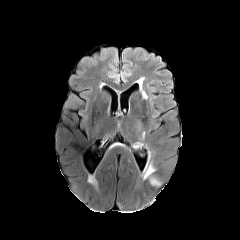
FLAIR magnetic resonance.
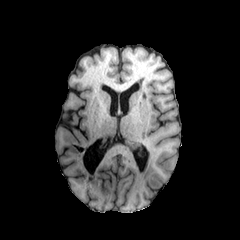
T1-weighted MR.
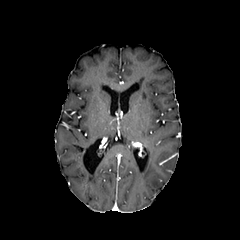
Post-contrast T1-weighted MRI.
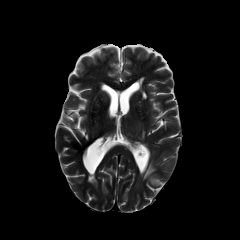
Same slice, T2-weighted MR image.
240x240, Brain
peritumoral edema: [x1=143, y1=164, x2=160, y2=185]